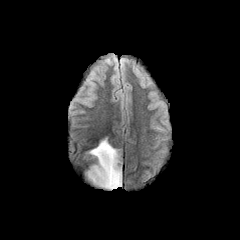
FLAIR magnetic resonance.
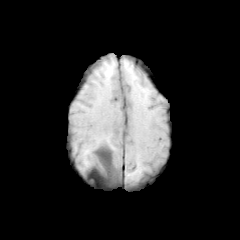
T1-weighted MR image.
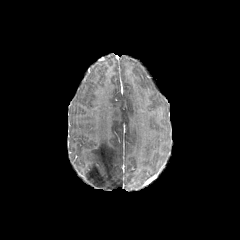
Post-contrast T1-weighted MRI of the same slice.
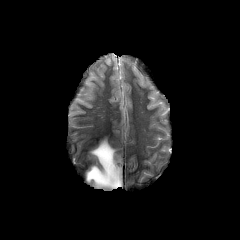
T2-weighted MR.
Head
peritumoral edema — x1=86 y1=138 x2=121 y2=189